Axial slice | 240x240 | Brain
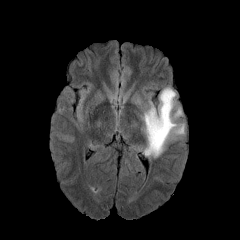
FLAIR MR image.
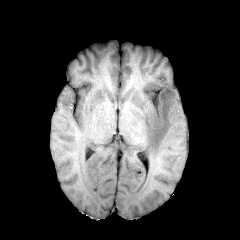
T1-weighted MR image of the same slice.
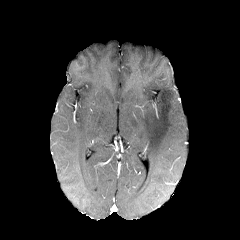
Post-contrast T1-weighted MR.
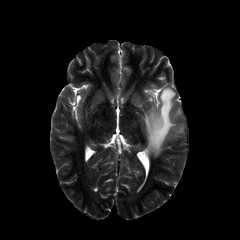
Same slice, T2-weighted magnetic resonance.
<segmentation>
  <peritumoral_edema>box=[141, 87, 184, 157]</peritumoral_edema>
</segmentation>